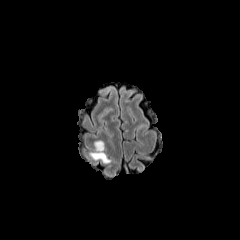
FLAIR MRI.
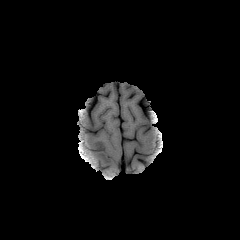
T1-weighted MR of the same slice.
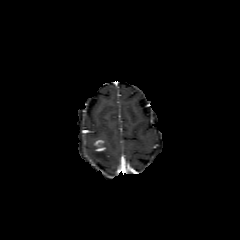
Post-contrast T1-weighted MR image.
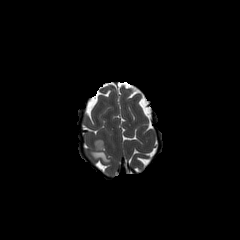
T2-weighted magnetic resonance.
Axial view
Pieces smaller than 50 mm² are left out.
The enhancing tumor is bounded by 95 140 105 151. The largest peritumoral edema region is at 88 142 110 163.